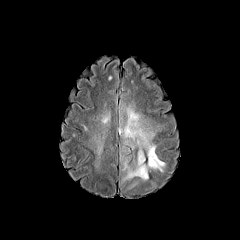
FLAIR MRI.
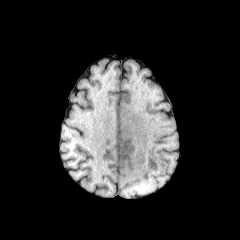
T1-weighted MR of the same slice.
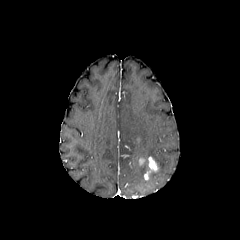
Post-contrast T1-weighted magnetic resonance of the same slice.
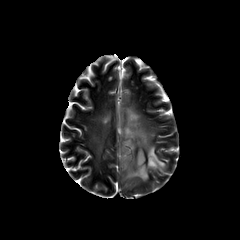
Same slice, T2-weighted MR image.
enhancing tumor — [138, 157, 145, 165], [144, 156, 158, 179]
peritumoral edema — [118, 92, 167, 189], [87, 100, 111, 168]